Slice 102/155, Image width 240 mm, 1.00 mm slice spacing, Axial view, Image size 240x240
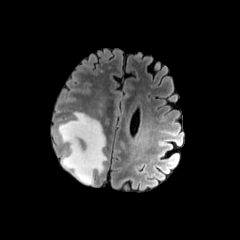
FLAIR magnetic resonance.
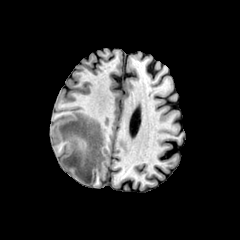
Same slice, T1-weighted MR.
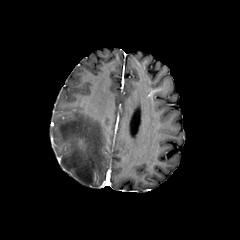
Same slice, post-contrast T1-weighted magnetic resonance.
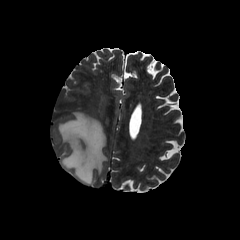
T2-weighted magnetic resonance.
The peritumoral edema is located at [58, 112, 106, 184].